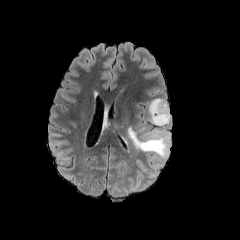
FLAIR magnetic resonance.
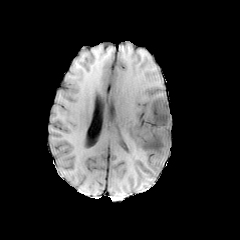
Same slice, T1-weighted MR image.
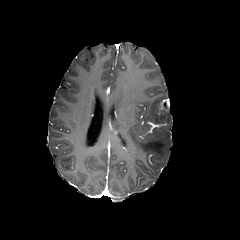
Post-contrast T1-weighted magnetic resonance.
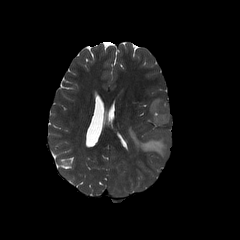
Same slice, T2-weighted MRI.
240x240 | Head
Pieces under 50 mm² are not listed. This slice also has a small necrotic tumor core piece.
<segmentation>
  <peritumoral_edema>left=148, top=98, right=170, bottom=126; left=128, top=127, right=170, bottom=169</peritumoral_edema>
  <enhancing_tumor>left=158, top=99, right=169, bottom=114</enhancing_tumor>
</segmentation>